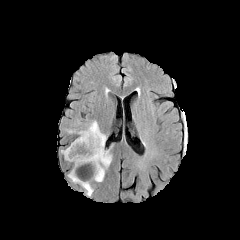
FLAIR MRI.
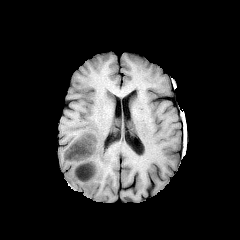
T1-weighted MR.
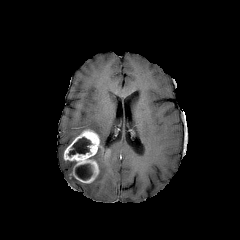
Post-contrast T1-weighted MRI of the same slice.
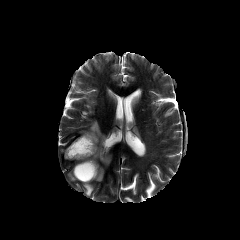
T2-weighted magnetic resonance of the same slice.
Axial slice.
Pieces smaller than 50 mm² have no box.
enhancing_tumor:
  - <box>64,130,101,183</box>
peritumoral_edema:
  - <box>93,148,111,181</box>
  - <box>68,169,93,196</box>
  - <box>86,121,106,148</box>
necrotic_tumor_core:
  - <box>68,137,91,156</box>
  - <box>75,164,92,180</box>